240x240 px
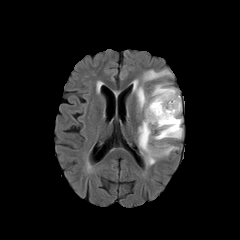
FLAIR MR image.
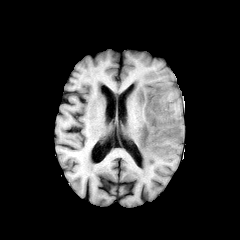
T1-weighted MRI of the same slice.
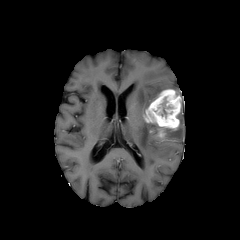
Post-contrast T1-weighted MR.
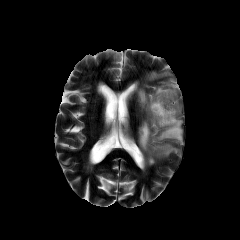
T2-weighted MR image.
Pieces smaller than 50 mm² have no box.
peritumoral edema — 144,70,171,80; 138,119,178,165; 164,115,182,139; 133,78,181,109
enhancing tumor — 144,89,181,139
necrotic tumor core — 157,99,173,118